FLAIR MR image.
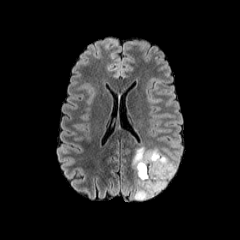
T1-weighted MRI.
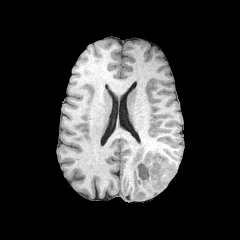
Post-contrast T1-weighted MRI.
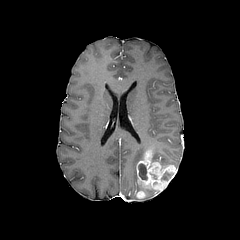
T2-weighted MR image.
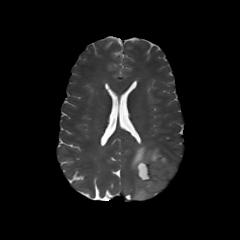
Brain. Image size 240x240.
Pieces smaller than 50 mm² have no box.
enhancing tumor — <box>136,191,145,198</box>, <box>136,150,176,191</box>
peritumoral edema — <box>132,144,176,199</box>
necrotic tumor core — <box>138,163,147,179</box>, <box>161,171,172,180</box>